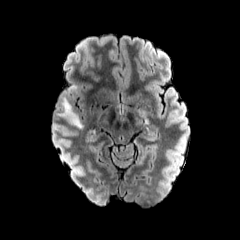
FLAIR magnetic resonance.
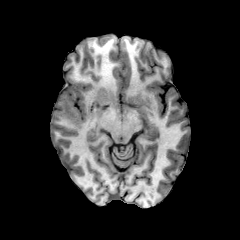
T1-weighted MRI of the same slice.
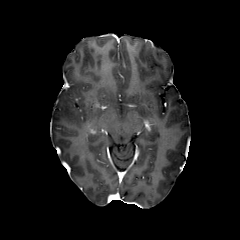
Post-contrast T1-weighted MR.
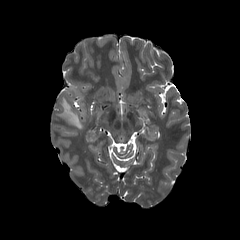
T2-weighted MR image of the same slice.
Head; Axial slice
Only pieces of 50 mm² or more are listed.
- peritumoral edema: (58,98,82,128)